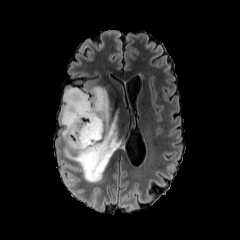
FLAIR magnetic resonance.
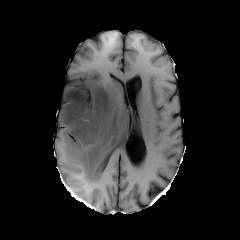
T1-weighted MR.
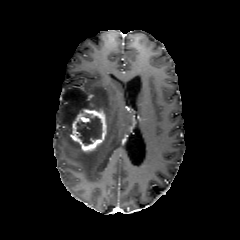
Post-contrast T1-weighted magnetic resonance.
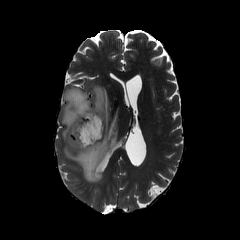
T2-weighted MRI of the same slice.
Head
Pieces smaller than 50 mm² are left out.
- enhancing tumor: box=[70, 108, 107, 151]
- necrotic tumor core: box=[77, 117, 101, 145]
- peritumoral edema: box=[60, 86, 120, 182]